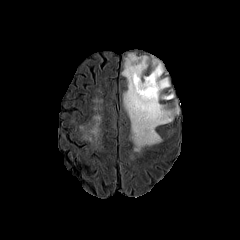
FLAIR magnetic resonance.
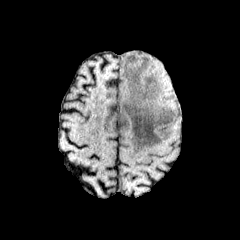
T1-weighted magnetic resonance of the same slice.
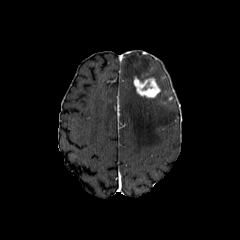
Same slice, post-contrast T1-weighted MRI.
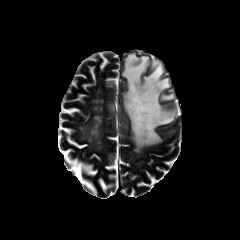
T2-weighted MRI.
Brain, Axial view, 240x240 px
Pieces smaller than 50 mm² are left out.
The largest enhancing tumor region lies within bbox=[133, 76, 160, 98]. The peritumoral edema appears at bbox=[122, 53, 178, 152].